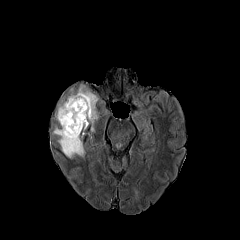
FLAIR MRI.
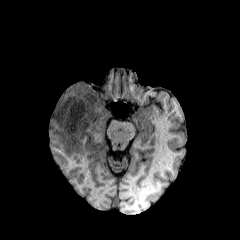
T1-weighted MR.
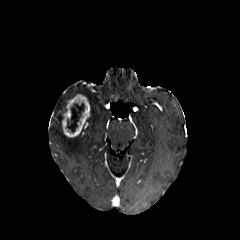
Post-contrast T1-weighted MR.
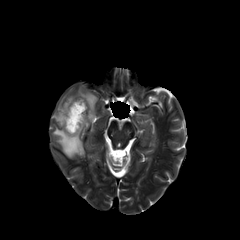
T2-weighted MRI.
Brain; Axial plane
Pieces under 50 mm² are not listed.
<segmentation>
  <peritumoral_edema>[57,87,75,111], [52,126,85,158], [76,85,98,132]</peritumoral_edema>
  <enhancing_tumor>[58,94,90,137]</enhancing_tumor>
  <necrotic_tumor_core>[67,103,84,132]</necrotic_tumor_core>
</segmentation>